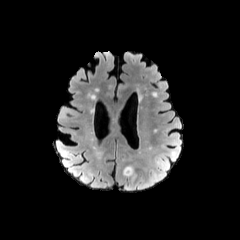
FLAIR MR image.
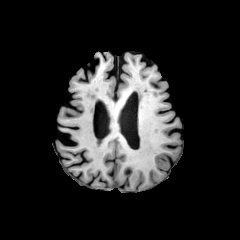
T1-weighted magnetic resonance of the same slice.
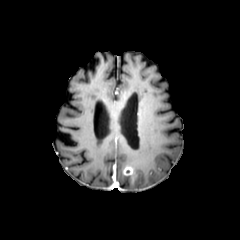
Post-contrast T1-weighted magnetic resonance.
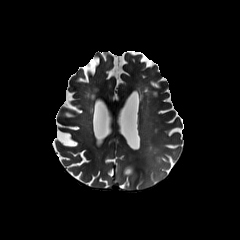
T2-weighted magnetic resonance.
Axial slice | Head
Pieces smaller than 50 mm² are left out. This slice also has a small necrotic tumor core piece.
The enhancing tumor appears at [122,166,136,184]. The largest peritumoral edema region is bounded by [118,174,154,191].